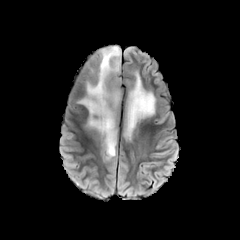
FLAIR magnetic resonance.
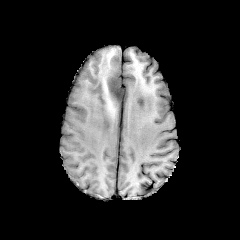
T1-weighted magnetic resonance.
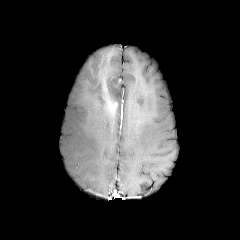
Same slice, post-contrast T1-weighted MR image.
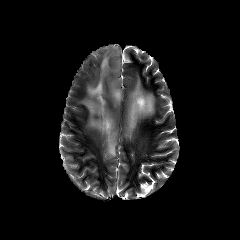
T2-weighted MR image.
Head | Axial plane
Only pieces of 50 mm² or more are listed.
enhancing_tumor:
  - (x1=111, y1=101, x2=118, y2=110)
peritumoral_edema:
  - (x1=122, y1=70, x2=155, y2=143)
  - (x1=78, y1=46, x2=121, y2=160)